Image covers 240 mm x 240 mm
FLAIR magnetic resonance.
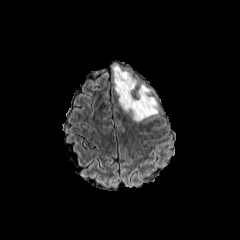
T1-weighted MR.
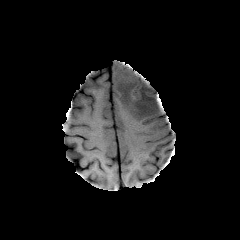
Post-contrast T1-weighted MR image.
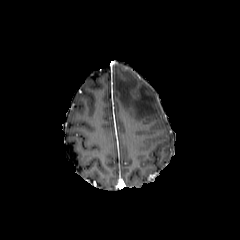
T2-weighted MR image.
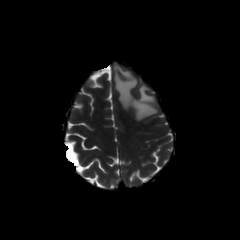
peritumoral edema: <bbox>113, 64, 158, 121</bbox>